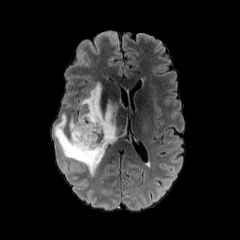
FLAIR MR image.
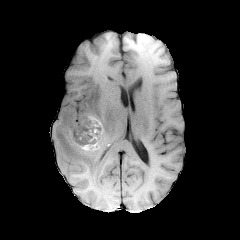
Same slice, T1-weighted MR image.
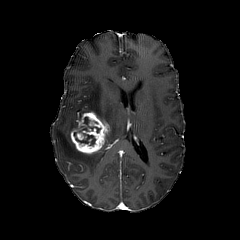
Post-contrast T1-weighted MRI.
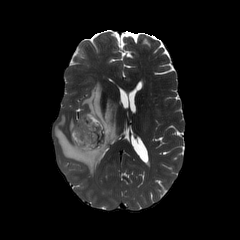
T2-weighted MR image.
Brain
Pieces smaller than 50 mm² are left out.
enhancing tumor at (70,112,110,154)
necrotic tumor core at (75,133,95,145)
peritumoral edema at (54,82,120,175), (68,119,77,133)